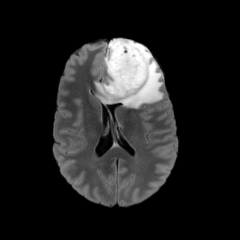
FLAIR MR image.
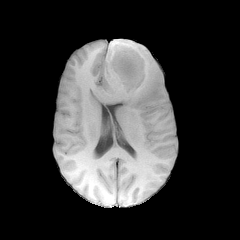
T1-weighted MRI.
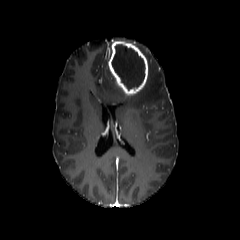
Post-contrast T1-weighted magnetic resonance.
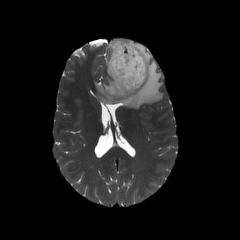
T2-weighted MR.
Brain
{
  "enhancing_tumor": [
    "(x1=108, y1=41, x2=148, y2=95)"
  ],
  "peritumoral_edema": [
    "(x1=94, y1=38, x2=163, y2=108)"
  ],
  "necrotic_tumor_core": [
    "(x1=111, y1=44, x2=144, y2=89)"
  ]
}